240x240 px; Slice index 83
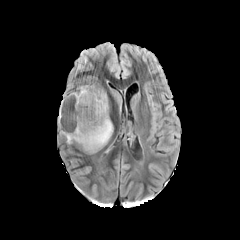
FLAIR MR.
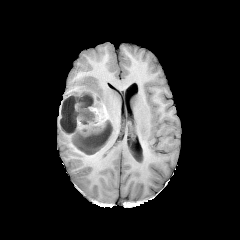
Same slice, T1-weighted MRI.
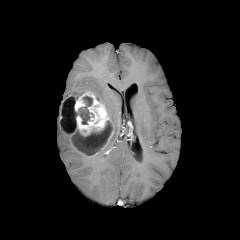
Post-contrast T1-weighted MR.
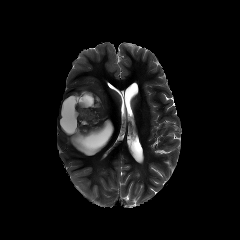
T2-weighted magnetic resonance.
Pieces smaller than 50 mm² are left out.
<segmentation>
  <necrotic_tumor_core>rect(60, 95, 93, 133); rect(74, 121, 111, 152)</necrotic_tumor_core>
  <peritumoral_edema>rect(76, 85, 112, 113)</peritumoral_edema>
  <enhancing_tumor>rect(58, 91, 112, 156)</enhancing_tumor>
</segmentation>